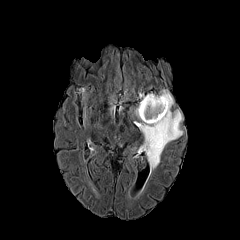
FLAIR magnetic resonance.
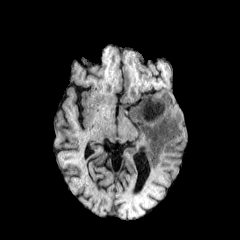
T1-weighted MR of the same slice.
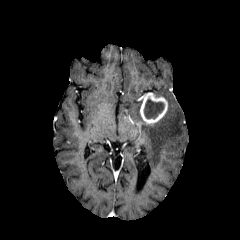
Same slice, post-contrast T1-weighted MRI.
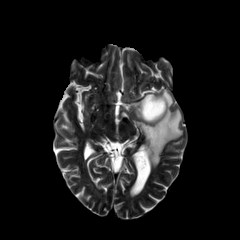
T2-weighted MR.
Brain; Axial slice
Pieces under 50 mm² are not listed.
Findings:
• peritumoral edema: 134, 89, 183, 172
• necrotic tumor core: 144, 99, 164, 118
• enhancing tumor: 140, 92, 168, 124